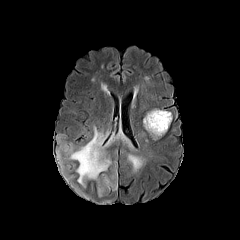
FLAIR MRI.
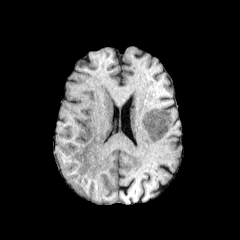
T1-weighted MRI of the same slice.
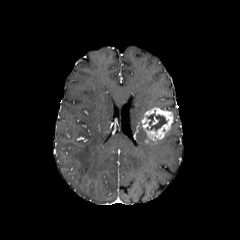
Post-contrast T1-weighted magnetic resonance.
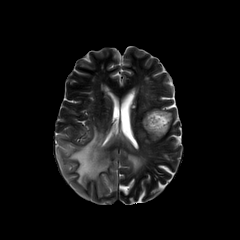
T2-weighted MR image.
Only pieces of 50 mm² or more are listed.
The 3 largest peritumoral edema regions are bounded by bbox=[72, 184, 91, 198]; bbox=[56, 126, 136, 195]; bbox=[128, 154, 144, 171]. The largest enhancing tumor region lies within bbox=[141, 107, 173, 141]. The largest necrotic tumor core region is at bbox=[147, 113, 167, 130].